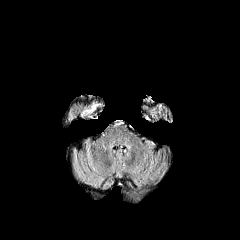
FLAIR MR image.
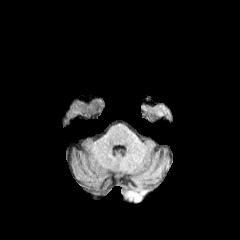
T1-weighted MRI.
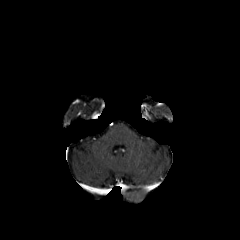
Same slice, post-contrast T1-weighted MRI.
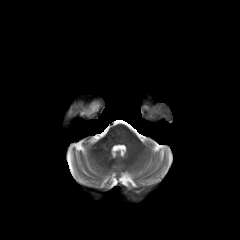
T2-weighted MR of the same slice.
Axial slice; 240x240 px
peritumoral edema at 83 100 101 115